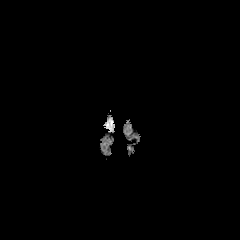
FLAIR MR image.
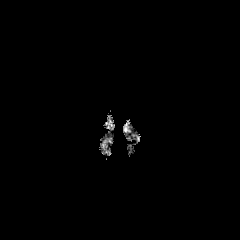
T1-weighted MR image.
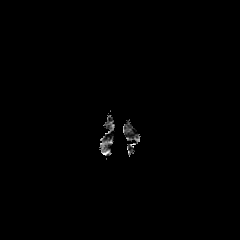
Post-contrast T1-weighted magnetic resonance.
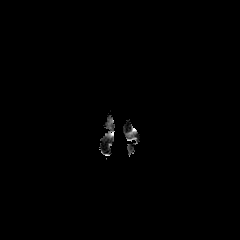
Same slice, T2-weighted magnetic resonance.
Image size 240x240. Brain.
The peritumoral edema is at box=[106, 119, 112, 130].